FLAIR MR.
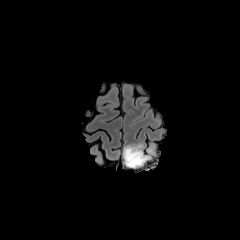
T1-weighted MR.
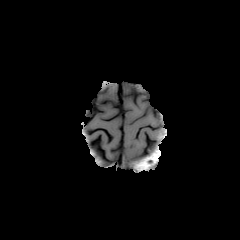
Post-contrast T1-weighted MR.
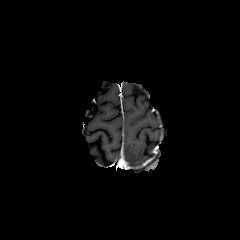
T2-weighted MR image.
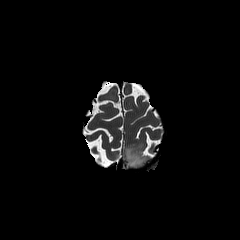
Head
The peritumoral edema is located at 123, 143, 152, 167.